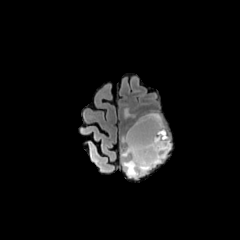
FLAIR magnetic resonance.
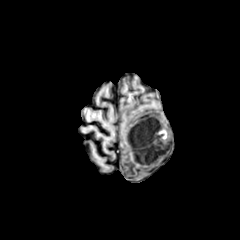
T1-weighted MR.
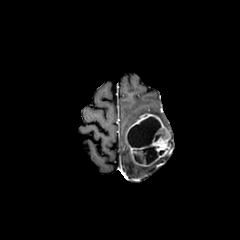
Post-contrast T1-weighted magnetic resonance.
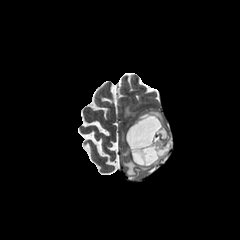
T2-weighted MR image.
240x240. Axial plane. Brain.
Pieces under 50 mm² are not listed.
• enhancing tumor: [125,113,171,166]
• peritumoral edema: [122,156,166,177], [121,147,130,157], [124,108,138,118]
• necrotic tumor core: [127,117,166,164]